Slice 57 of 155, Axial slice, Brain
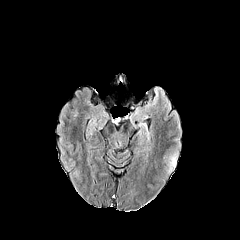
FLAIR magnetic resonance.
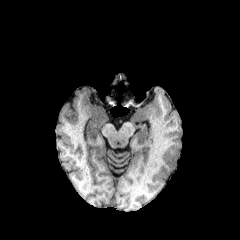
T1-weighted MR.
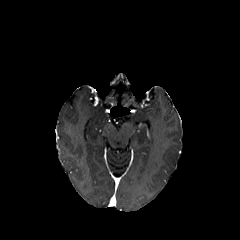
Post-contrast T1-weighted MR image.
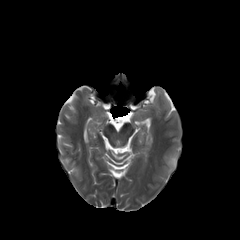
T2-weighted MR image.
peritumoral edema = l=168, t=155, r=177, b=171